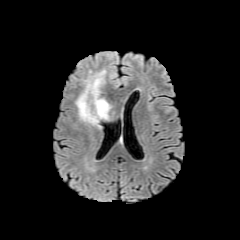
FLAIR MRI.
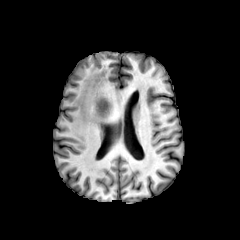
T1-weighted MR.
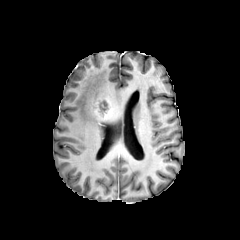
Post-contrast T1-weighted MR image.
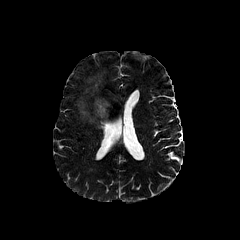
T2-weighted magnetic resonance of the same slice.
Brain; Axial plane
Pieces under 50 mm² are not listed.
necrotic_tumor_core:
  - region(99, 100, 107, 111)
peritumoral_edema:
  - region(76, 70, 106, 128)
enhancing_tumor:
  - region(94, 97, 112, 120)